Slice index 46
FLAIR magnetic resonance.
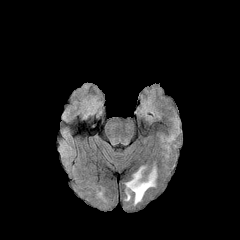
T1-weighted MRI.
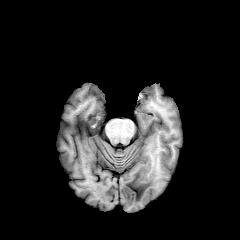
Post-contrast T1-weighted MR image.
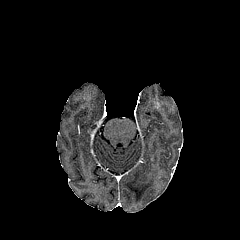
T2-weighted MR image.
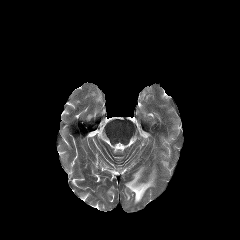
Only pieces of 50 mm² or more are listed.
Annotated regions:
* peritumoral edema: l=126, t=167, r=155, b=203